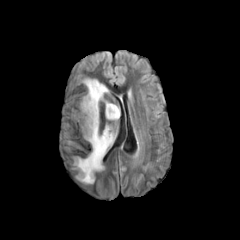
FLAIR magnetic resonance.
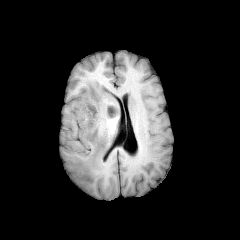
Same slice, T1-weighted MRI.
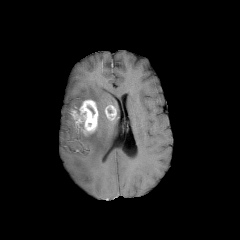
Post-contrast T1-weighted MRI.
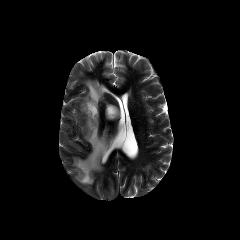
T2-weighted MR of the same slice.
240x240
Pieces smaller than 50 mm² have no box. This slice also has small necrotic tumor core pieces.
* enhancing tumor: [80,100,98,133], [105,105,117,119]
* peritumoral edema: [74,117,113,183], [83,79,107,110], [106,102,119,119]